Head. Axial slice. Slice 48 of 155.
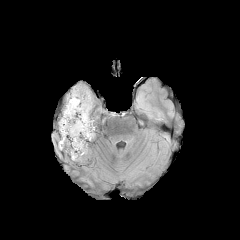
FLAIR MR image.
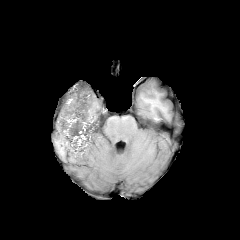
T1-weighted MRI.
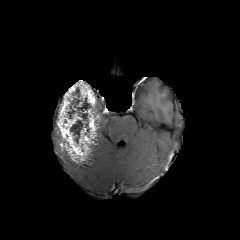
Post-contrast T1-weighted MRI.
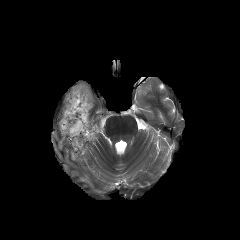
Same slice, T2-weighted MR.
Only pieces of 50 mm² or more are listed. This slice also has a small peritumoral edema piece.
{
  "enhancing_tumor": [
    "[57, 81, 100, 162]"
  ],
  "necrotic_tumor_core": [
    "[70, 120, 83, 143]",
    "[67, 98, 90, 127]"
  ]
}